FLAIR MR image.
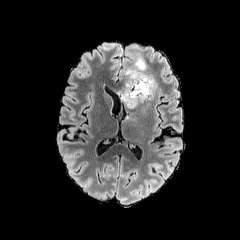
T1-weighted MR.
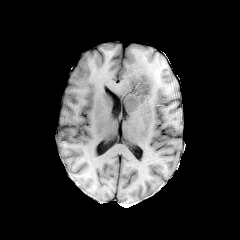
Post-contrast T1-weighted MRI.
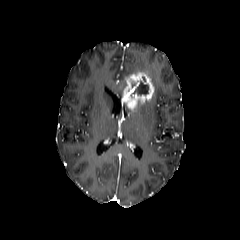
T2-weighted MR.
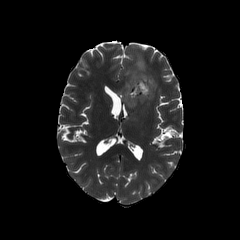
Image size 240x240
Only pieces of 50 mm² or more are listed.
<segmentation>
  <enhancing_tumor><box>121,71,154,110</box></enhancing_tumor>
  <peritumoral_edema><box>122,51,157,99</box></peritumoral_edema>
  <necrotic_tumor_core><box>133,81,148,94</box></necrotic_tumor_core>
</segmentation>